FLAIR MR image.
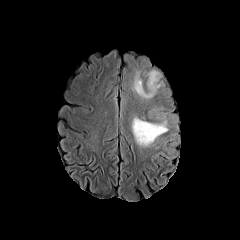
T1-weighted MRI.
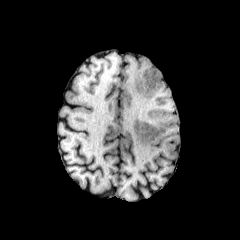
Post-contrast T1-weighted MR.
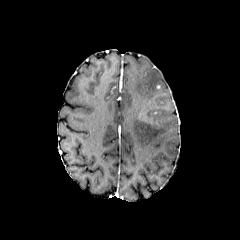
T2-weighted MR image.
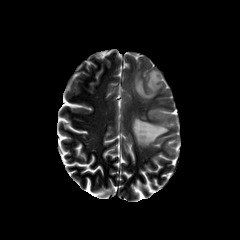
Axial slice.
peritumoral edema — [132,70,161,98], [132,117,168,146]